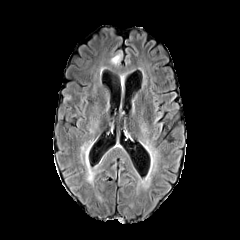
FLAIR magnetic resonance.
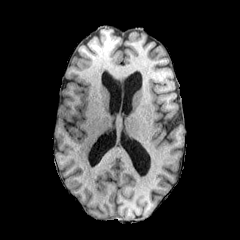
T1-weighted MR.
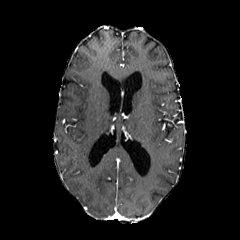
Post-contrast T1-weighted MR.
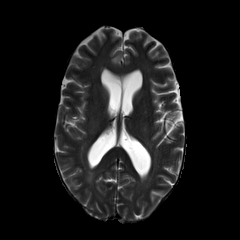
Same slice, T2-weighted MR image.
240x240
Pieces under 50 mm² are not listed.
peritumoral edema — [111,54,120,64]